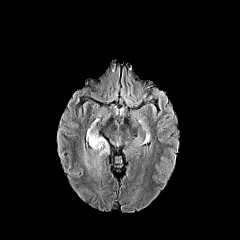
FLAIR MR.
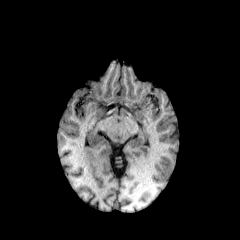
T1-weighted MRI.
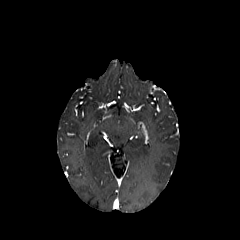
Post-contrast T1-weighted MR image.
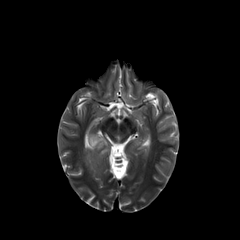
T2-weighted MRI.
Image size 240x240, Brain, Axial view
Annotated regions:
• peritumoral edema: x1=89 y1=132 x2=108 y2=156